Brain, Axial plane, Slice 87/155
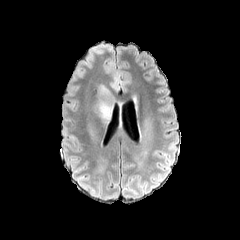
FLAIR magnetic resonance.
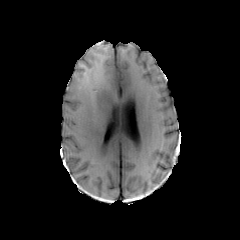
T1-weighted MR of the same slice.
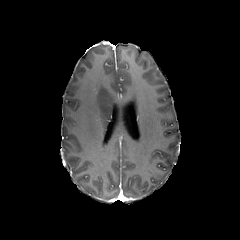
Post-contrast T1-weighted MR.
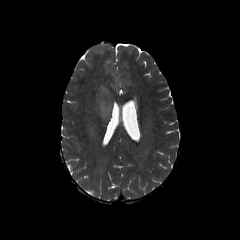
T2-weighted MR.
* peritumoral edema: 95, 84, 113, 121